Slice 110 of 155; Image width 240 mm, 1.00 mm slice spacing
FLAIR magnetic resonance.
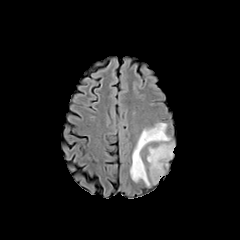
T1-weighted MRI.
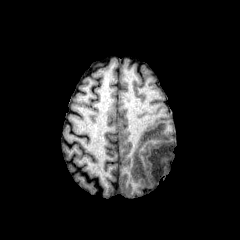
Post-contrast T1-weighted MR image.
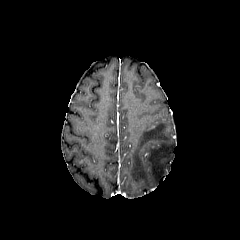
T2-weighted MR.
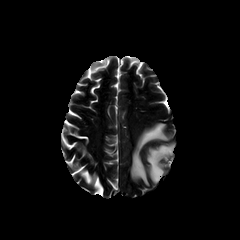
peritumoral edema: bounding box 147,143,174,183; 130,123,170,186